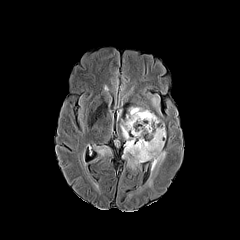
FLAIR MRI.
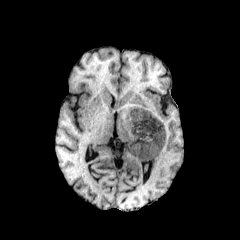
T1-weighted magnetic resonance.
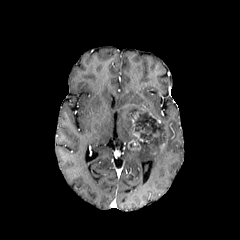
Same slice, post-contrast T1-weighted MRI.
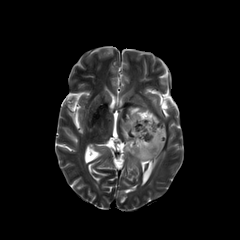
T2-weighted MRI.
240x240 px.
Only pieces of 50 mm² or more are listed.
necrotic tumor core: 135 111 162 145 | enhancing tumor: 128 140 140 150, 132 119 143 141 | peritumoral edema: 87 175 100 195, 91 143 111 158, 120 107 166 189